FLAIR MR image.
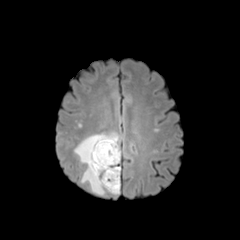
T1-weighted MRI.
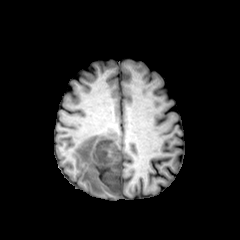
Post-contrast T1-weighted MRI.
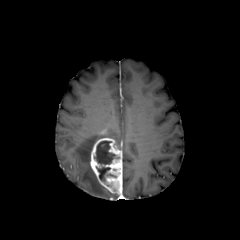
T2-weighted MR.
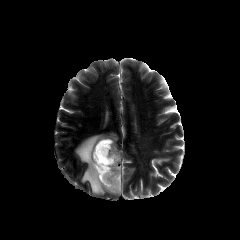
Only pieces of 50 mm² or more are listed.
* enhancing tumor: (90, 138, 122, 194)
* necrotic tumor core: (94, 141, 115, 164), (96, 167, 110, 181)
* peritumoral edema: (74, 132, 119, 194)